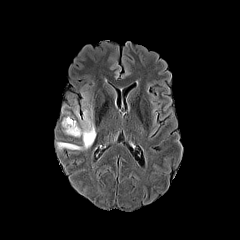
FLAIR MR image.
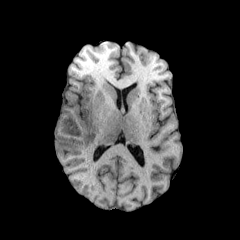
T1-weighted MR.
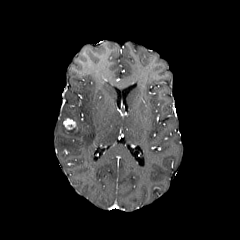
Same slice, post-contrast T1-weighted MR image.
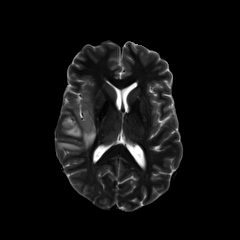
Same slice, T2-weighted MR image.
Axial slice, 240x240, Head
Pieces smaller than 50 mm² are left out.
Segmented structures:
* enhancing tumor: bbox(63, 118, 76, 129)
* peritumoral edema: bbox(57, 96, 96, 149)